FLAIR MRI.
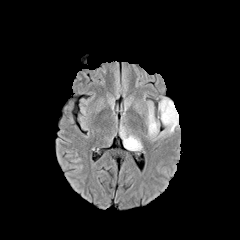
T1-weighted magnetic resonance.
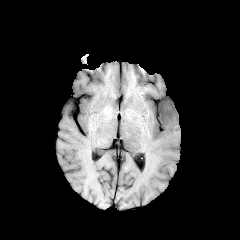
Post-contrast T1-weighted MRI.
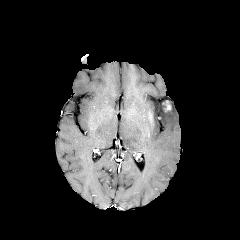
T2-weighted MRI.
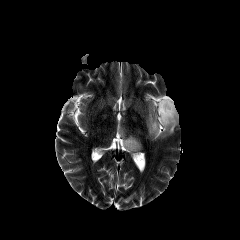
enhancing tumor = left=162, top=100, right=171, bottom=111
peritumoral edema = left=147, top=96, right=178, bottom=139; left=120, top=127, right=142, bottom=151